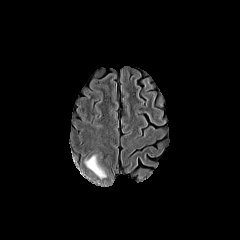
FLAIR MR image.
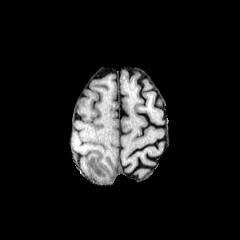
T1-weighted MRI.
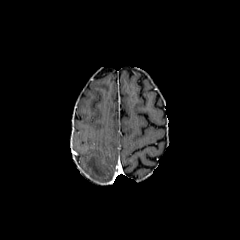
Post-contrast T1-weighted MR image.
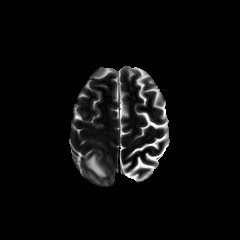
Same slice, T2-weighted MRI.
Axial view
{
  "peritumoral_edema": [
    "(85, 155, 106, 178)"
  ]
}